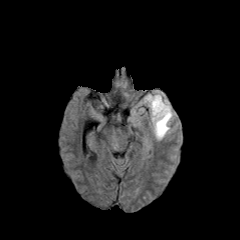
FLAIR MRI.
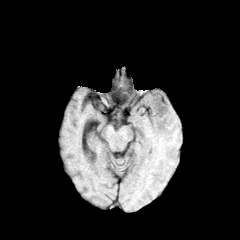
T1-weighted magnetic resonance.
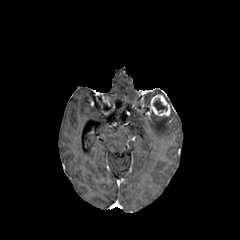
Same slice, post-contrast T1-weighted MR image.
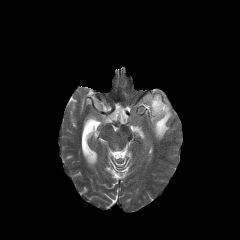
T2-weighted magnetic resonance.
Head | 240x240
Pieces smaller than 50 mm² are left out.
enhancing_tumor:
  - (148,94,170,116)
peritumoral_edema:
  - (149,111,172,139)
  - (144,94,153,105)
necrotic_tumor_core:
  - (153,99,167,111)